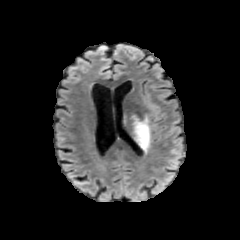
FLAIR MRI.
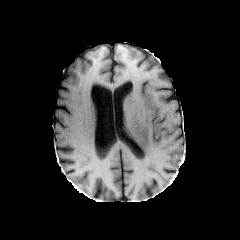
T1-weighted MR image.
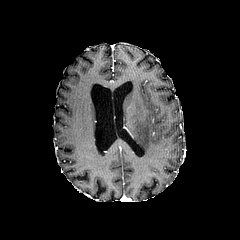
Same slice, post-contrast T1-weighted MR image.
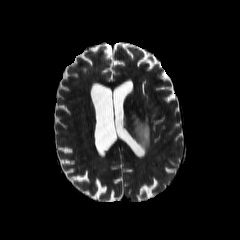
T2-weighted MR image.
Head; Axial slice
peritumoral edema = [123,112,150,154]